FLAIR MR.
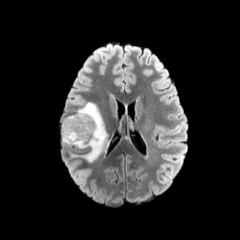
T1-weighted MR.
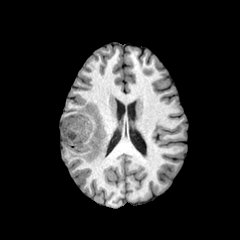
Post-contrast T1-weighted MRI.
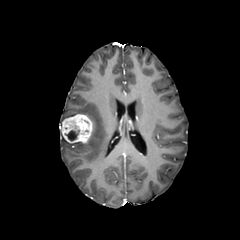
T2-weighted MR image.
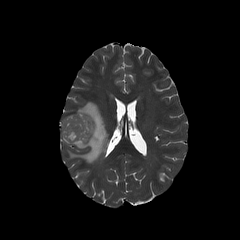
Brain.
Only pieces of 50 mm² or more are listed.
Findings:
• necrotic tumor core: rect(65, 130, 79, 140)
• peritumoral edema: rect(62, 102, 109, 162)
• enhancing tumor: rect(61, 114, 92, 143)